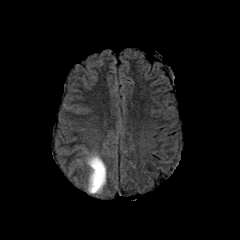
FLAIR MR.
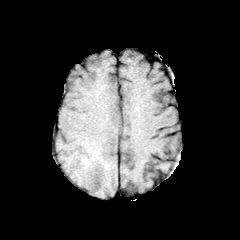
T1-weighted MR.
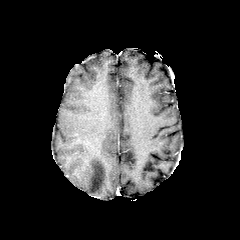
Same slice, post-contrast T1-weighted magnetic resonance.
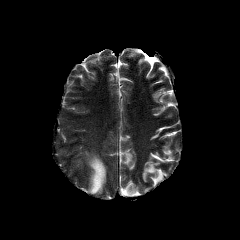
Same slice, T2-weighted MR.
240x240 | Axial slice
* peritumoral edema: x1=87, y1=154, x2=106, y2=193